FLAIR magnetic resonance.
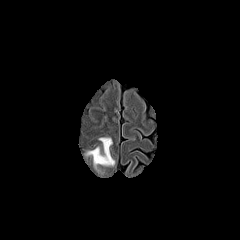
T1-weighted MR.
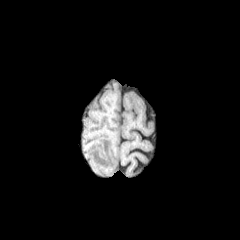
Post-contrast T1-weighted MR.
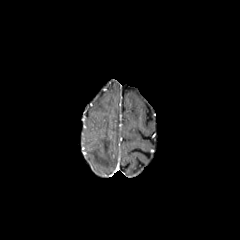
T2-weighted MRI.
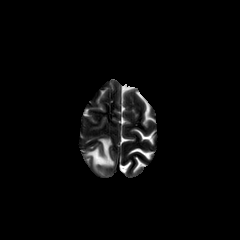
Axial slice
peritumoral edema = (87,137,114,168)